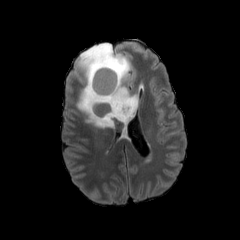
FLAIR MR.
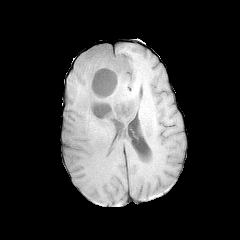
T1-weighted magnetic resonance of the same slice.
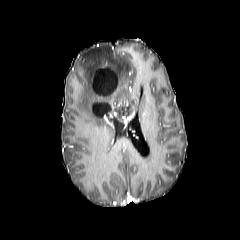
Post-contrast T1-weighted MR image of the same slice.
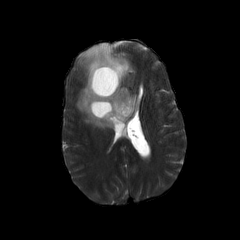
T2-weighted MR image.
Axial slice | 240x240
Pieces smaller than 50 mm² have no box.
<segmentation>
  <necrotic_tumor_core>l=92, t=103, r=110, b=116; l=93, t=68, r=117, b=95</necrotic_tumor_core>
  <peritumoral_edema>l=76, t=43, r=137, b=128</peritumoral_edema>
  <enhancing_tumor>l=122, t=107, r=134, b=130</enhancing_tumor>
</segmentation>